Axial view.
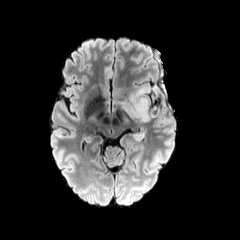
FLAIR MR image.
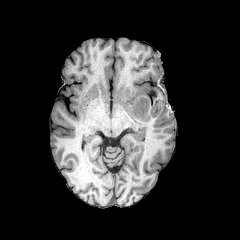
T1-weighted MR image.
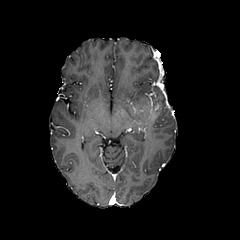
Post-contrast T1-weighted MR image.
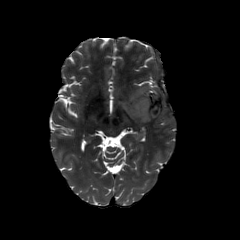
Same slice, T2-weighted MR image.
enhancing_tumor:
  - (133, 105, 145, 113)
  - (149, 105, 158, 118)
peritumoral_edema:
  - (122, 89, 151, 122)
  - (133, 131, 144, 141)